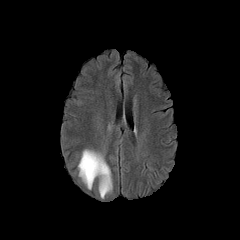
FLAIR MRI.
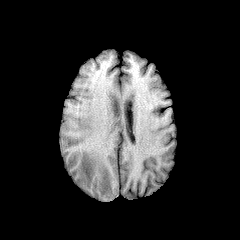
Same slice, T1-weighted MR.
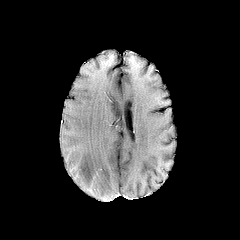
Post-contrast T1-weighted MR.
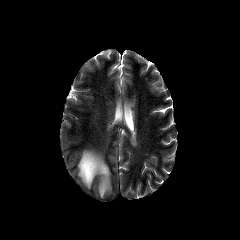
Same slice, T2-weighted MR.
Brain
<segmentation>
  <peritumoral_edema>[78,149,112,197]</peritumoral_edema>
</segmentation>